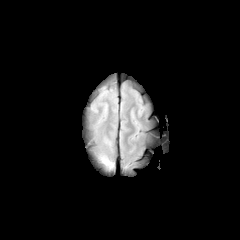
FLAIR MRI.
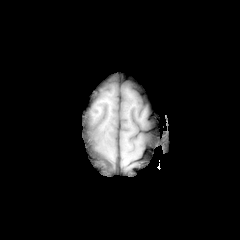
T1-weighted magnetic resonance.
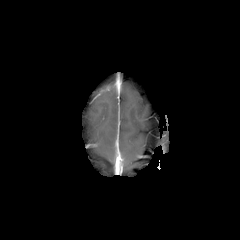
Post-contrast T1-weighted MR.
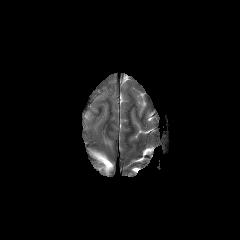
T2-weighted magnetic resonance.
240x240; Brain; Axial view
peritumoral_edema:
  - [x1=99, y1=155, x2=112, y2=167]